FLAIR magnetic resonance.
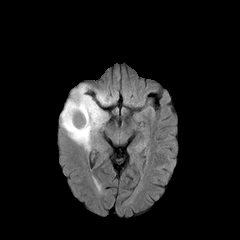
T1-weighted magnetic resonance.
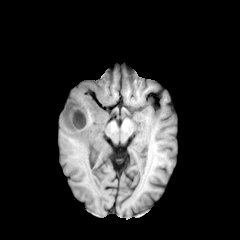
Post-contrast T1-weighted MRI.
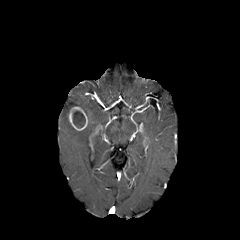
T2-weighted MRI.
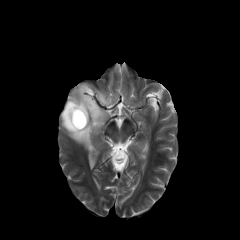
Head
2 peritumoral edema regions are located at (95,90,116,104), (60,84,108,151). The enhancing tumor lies within (68,106,87,130). The necrotic tumor core appears at (73,111,85,127).